Brain; Axial plane
FLAIR MR.
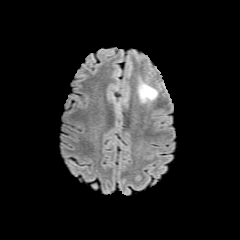
T1-weighted MR image.
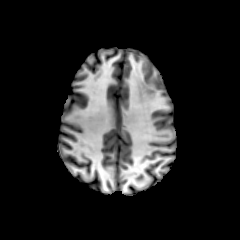
Post-contrast T1-weighted MR.
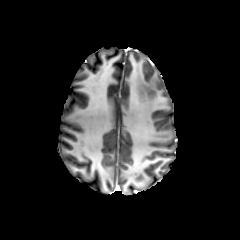
T2-weighted MR.
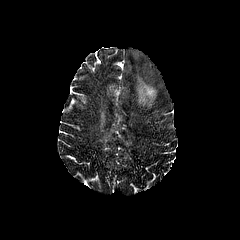
peritumoral edema: l=138, t=83, r=156, b=102